Brain
FLAIR MR.
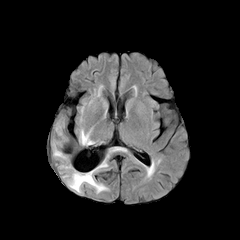
T1-weighted MR.
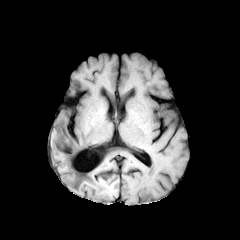
Post-contrast T1-weighted MR.
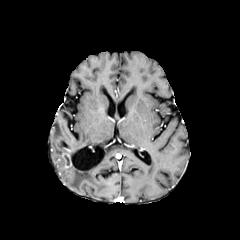
T2-weighted MR.
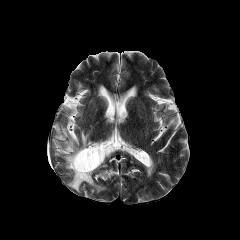
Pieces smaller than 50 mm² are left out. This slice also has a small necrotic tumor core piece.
peritumoral edema: [53,139,63,158], [65,160,107,192], [80,129,94,144], [55,125,63,138] | enhancing tumor: [61,154,71,167]